Axial plane | Brain | Slice 107/155
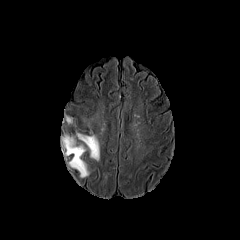
FLAIR MRI.
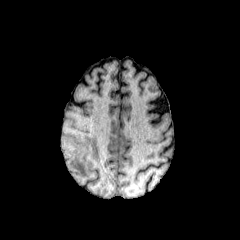
Same slice, T1-weighted MRI.
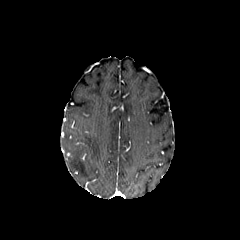
Post-contrast T1-weighted magnetic resonance.
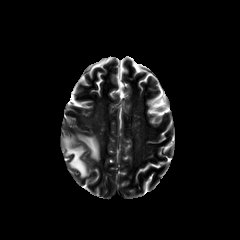
T2-weighted MRI.
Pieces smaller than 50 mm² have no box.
Segmented structures:
* peritumoral edema: 62 132 99 177